FLAIR MR.
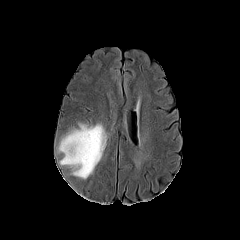
T1-weighted magnetic resonance.
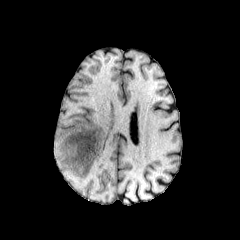
Post-contrast T1-weighted MRI.
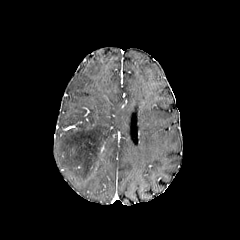
T2-weighted magnetic resonance.
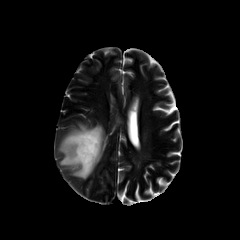
Axial plane
{
  "peritumoral_edema": [
    "l=58, t=124, r=105, b=179"
  ]
}